FLAIR MRI.
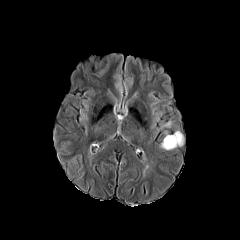
T1-weighted MR image.
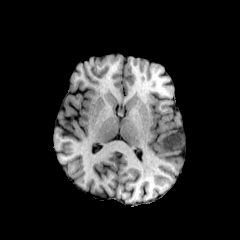
Post-contrast T1-weighted magnetic resonance.
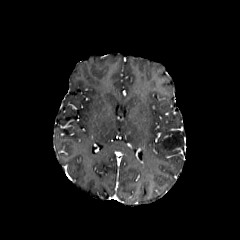
T2-weighted MR.
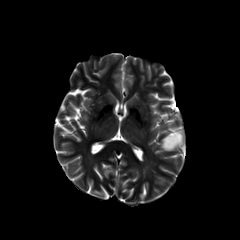
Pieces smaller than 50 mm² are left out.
peritumoral edema: 160 131 183 150